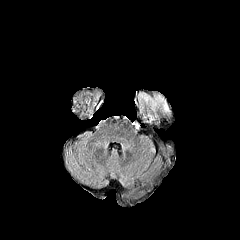
FLAIR MRI.
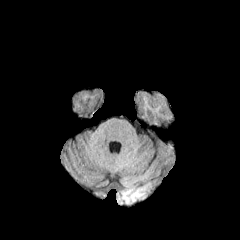
T1-weighted MRI.
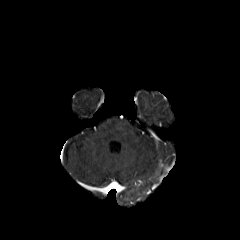
Post-contrast T1-weighted MRI of the same slice.
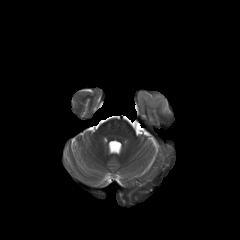
T2-weighted MR of the same slice.
The peritumoral edema lies within box=[140, 93, 169, 112].